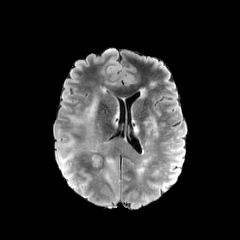
FLAIR MR image.
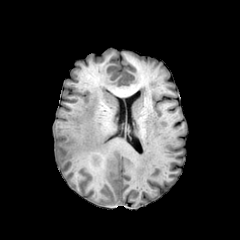
T1-weighted magnetic resonance.
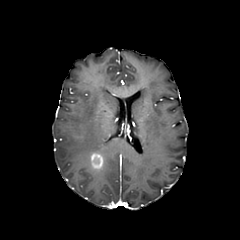
Same slice, post-contrast T1-weighted MRI.
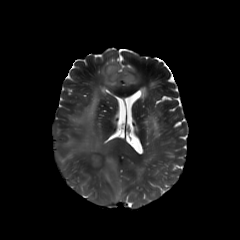
T2-weighted MR image.
Axial view
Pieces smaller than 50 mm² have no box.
Findings:
* enhancing tumor: rect(91, 153, 103, 169)
* peritumoral edema: rect(104, 157, 116, 181); rect(56, 150, 74, 177); rect(62, 138, 75, 147); rect(69, 96, 100, 151)